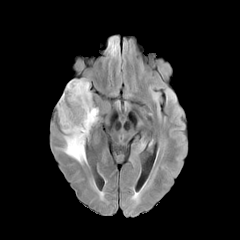
FLAIR MR image.
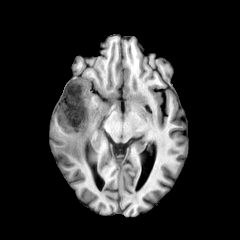
Same slice, T1-weighted magnetic resonance.
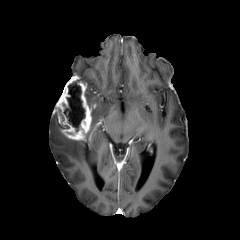
Post-contrast T1-weighted magnetic resonance.
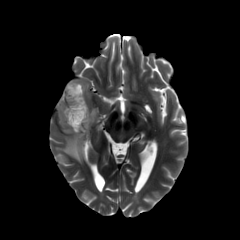
T2-weighted MRI.
Axial plane
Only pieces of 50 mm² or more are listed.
Annotated regions:
• peritumoral edema: bbox=[85, 81, 98, 129]; bbox=[61, 136, 86, 163]
• necrotic tumor core: bbox=[62, 81, 85, 131]
• enhancing tumor: bbox=[56, 76, 91, 140]